FLAIR magnetic resonance.
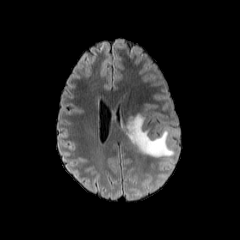
T1-weighted MR image.
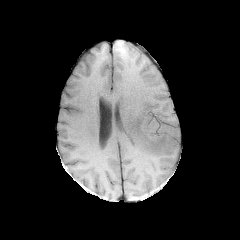
Post-contrast T1-weighted magnetic resonance.
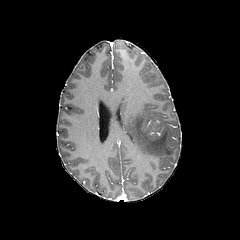
T2-weighted magnetic resonance.
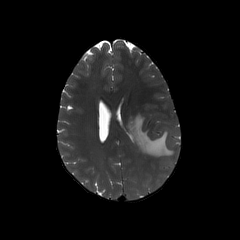
Head
Findings:
• peritumoral edema: 126,114,174,157